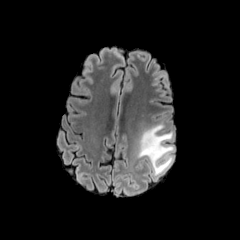
FLAIR MRI.
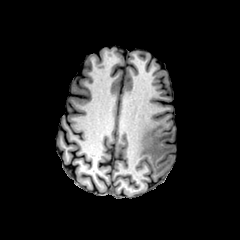
T1-weighted MR.
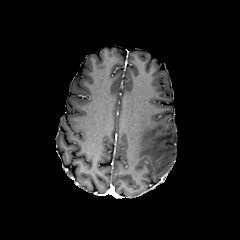
Post-contrast T1-weighted magnetic resonance.
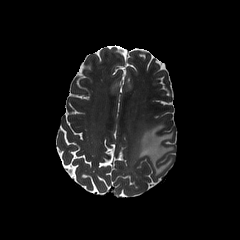
T2-weighted MRI.
Axial plane, Brain, Image size 240x240
peritumoral edema: box(137, 124, 174, 175)